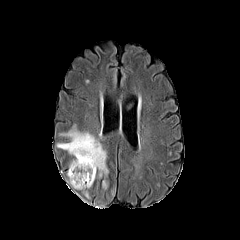
FLAIR MR image.
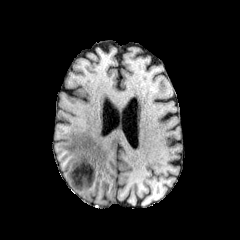
T1-weighted MR image of the same slice.
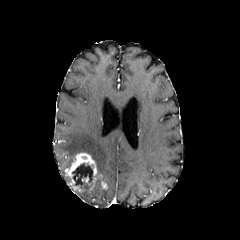
Post-contrast T1-weighted magnetic resonance of the same slice.
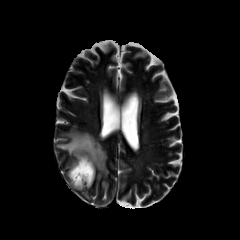
Same slice, T2-weighted MR.
Head.
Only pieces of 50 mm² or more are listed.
enhancing_tumor:
  - 67 152 101 190
necrotic_tumor_core:
  - 72 163 93 188
peritumoral_edema:
  - 57 124 108 177